FLAIR MRI.
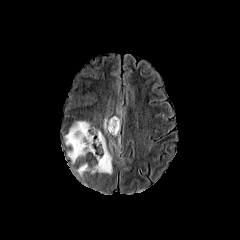
T1-weighted MR.
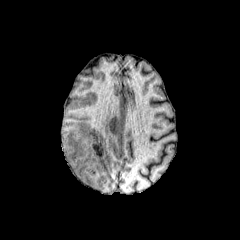
Post-contrast T1-weighted MR image.
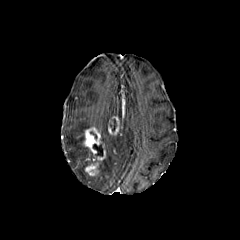
T2-weighted MRI.
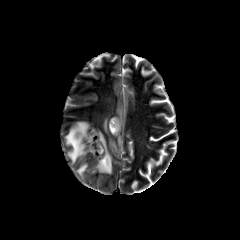
240x240
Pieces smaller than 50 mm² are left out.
enhancing tumor — [83, 127, 106, 175], [108, 116, 120, 135]
necrotic tumor core — [93, 144, 102, 156]
peritumoral edema — [65, 121, 90, 163], [99, 132, 112, 174], [103, 117, 109, 133], [76, 163, 88, 178]